FLAIR MR.
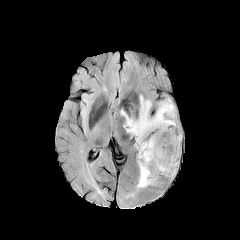
T1-weighted MR image.
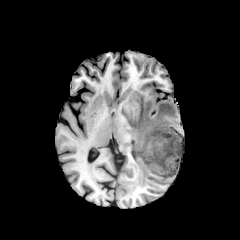
Post-contrast T1-weighted magnetic resonance.
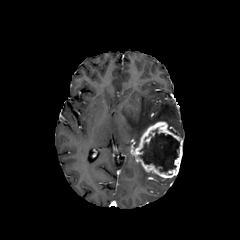
T2-weighted MR image.
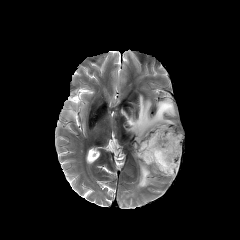
Head
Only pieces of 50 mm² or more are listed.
The necrotic tumor core is at <bbox>139, 129, 179, 172</bbox>. The 2 largest peritumoral edema regions are located at <bbox>121, 95, 176, 147</bbox>, <bbox>136, 163, 158, 188</bbox>. The largest enhancing tumor region is located at <bbox>131, 121, 183, 178</bbox>.